FLAIR MR.
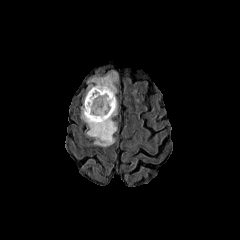
T1-weighted MR.
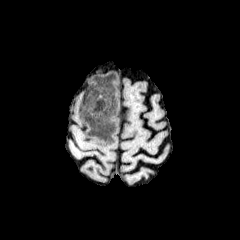
Post-contrast T1-weighted MR image.
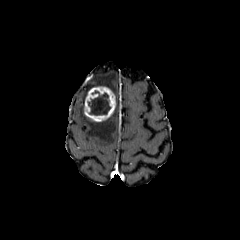
T2-weighted MR image.
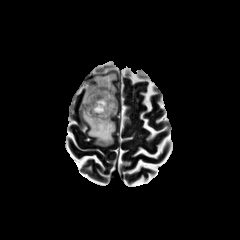
Brain.
enhancing_tumor:
  - [x1=84, y1=86, x2=115, y2=121]
necrotic_tumor_core:
  - [x1=87, y1=90, x2=110, y2=115]
peritumoral_edema:
  - [x1=87, y1=72, x2=118, y2=95]
  - [x1=81, y1=98, x2=118, y2=146]